FLAIR MRI.
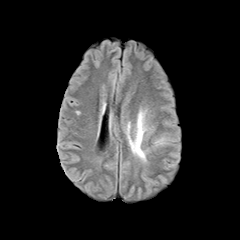
T1-weighted MR image.
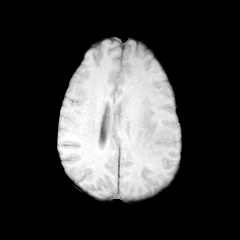
Post-contrast T1-weighted magnetic resonance.
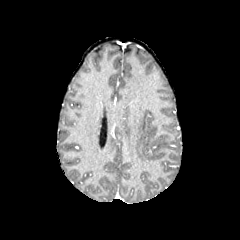
T2-weighted magnetic resonance.
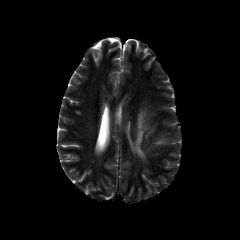
240x240, Axial view
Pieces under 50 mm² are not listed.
peritumoral edema — [128, 110, 146, 160]